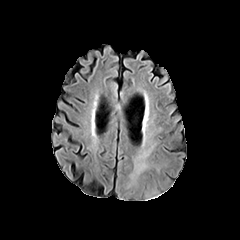
FLAIR magnetic resonance.
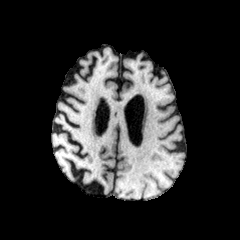
Same slice, T1-weighted MR image.
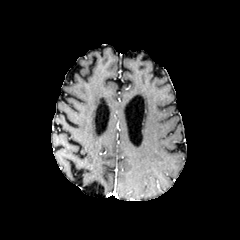
Post-contrast T1-weighted MRI.
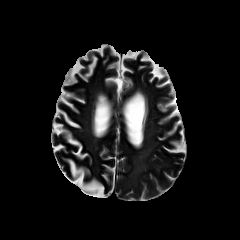
Same slice, T2-weighted MR.
Head. 240x240.
peritumoral edema at bbox=[134, 165, 145, 169]